Head
FLAIR magnetic resonance.
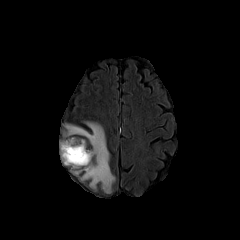
T1-weighted MR.
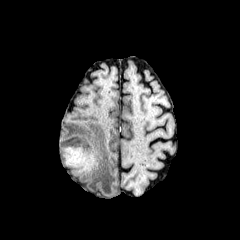
Post-contrast T1-weighted magnetic resonance.
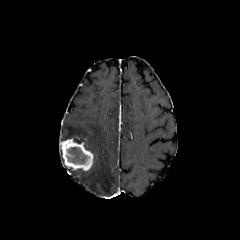
T2-weighted MR image.
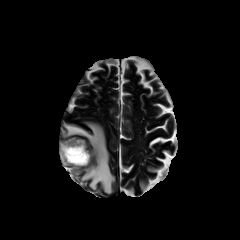
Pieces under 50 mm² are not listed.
peritumoral edema: box=[63, 121, 115, 193]
necrotic tumor core: box=[68, 147, 86, 163]
enhancing tumor: box=[59, 138, 93, 170]